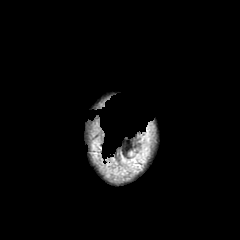
FLAIR MR.
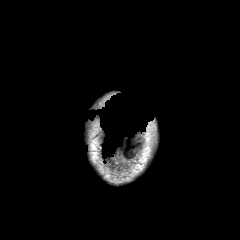
T1-weighted MR of the same slice.
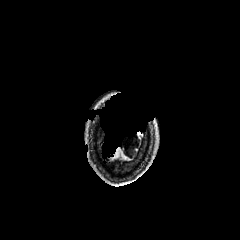
Same slice, post-contrast T1-weighted MR.
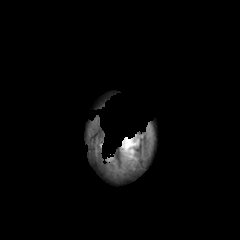
T2-weighted MRI of the same slice.
Head, Axial slice
peritumoral edema: x1=122 y1=151 x2=139 y2=166